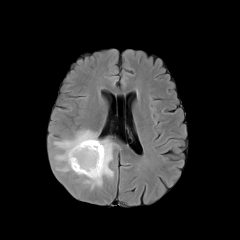
FLAIR magnetic resonance.
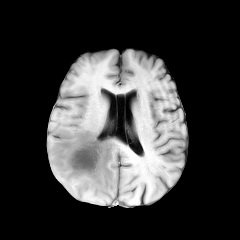
T1-weighted MR image.
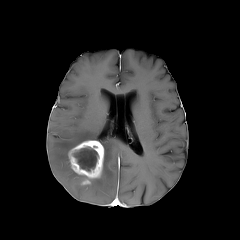
Same slice, post-contrast T1-weighted MR image.
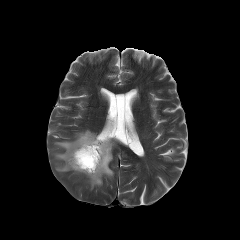
T2-weighted MR image of the same slice.
Brain, Axial slice
peritumoral edema = [x1=54, y1=129, x2=115, y2=189]
enhancing tumor = [x1=68, y1=140, x2=104, y2=184]
necrotic tumor core = [x1=74, y1=148, x2=97, y2=171]